FLAIR MRI.
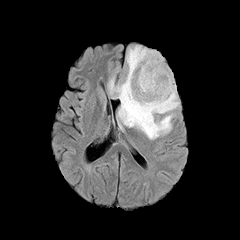
T1-weighted MR image.
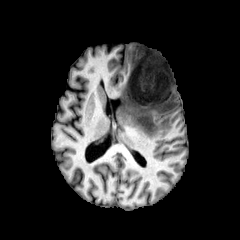
Post-contrast T1-weighted MR image.
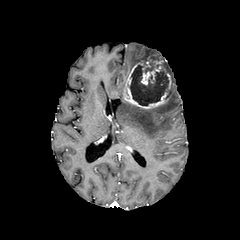
T2-weighted magnetic resonance.
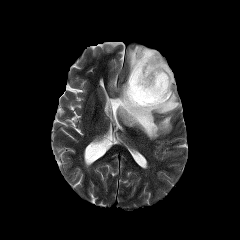
Head
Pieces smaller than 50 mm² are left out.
necrotic tumor core = [129,54,170,105]
enhancing tumor = [123,60,168,108], [167,72,172,90], [141,56,163,85]
peritumoral edema = [108,63,179,139], [126,45,161,80]